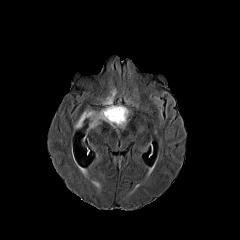
FLAIR magnetic resonance.
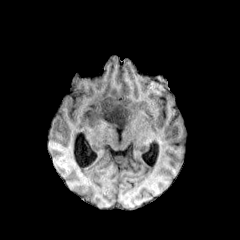
T1-weighted MRI.
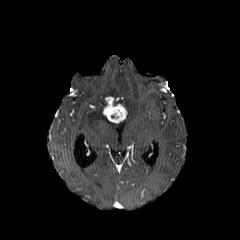
Post-contrast T1-weighted MR image.
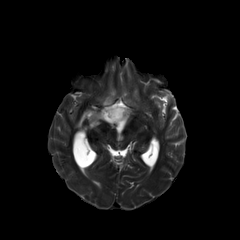
T2-weighted magnetic resonance.
Head
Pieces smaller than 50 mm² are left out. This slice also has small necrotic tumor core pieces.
The enhancing tumor lies within 103 96 127 123. The 2 largest peritumoral edema regions are bounded by 75 108 129 128, 109 87 116 98.